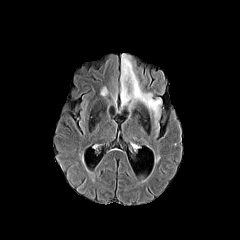
FLAIR MR.
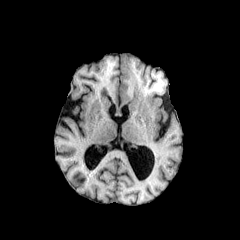
T1-weighted MR of the same slice.
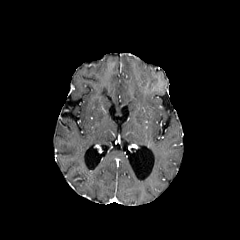
Post-contrast T1-weighted MRI.
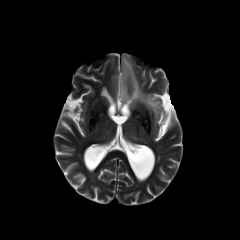
T2-weighted MR image of the same slice.
Head
* peritumoral edema: 120:54:161:118